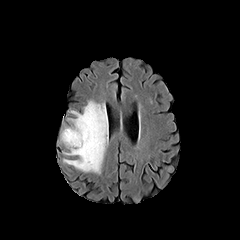
FLAIR MR image.
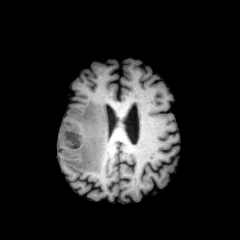
T1-weighted magnetic resonance of the same slice.
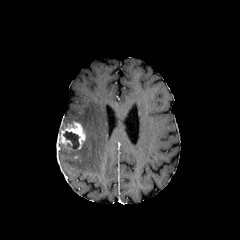
Post-contrast T1-weighted magnetic resonance of the same slice.
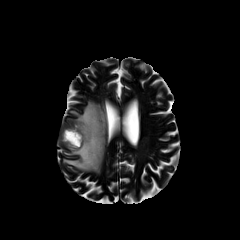
Same slice, T2-weighted MR image.
Brain
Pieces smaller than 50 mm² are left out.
peritumoral edema at (left=63, top=100, right=108, bottom=173)
enhancing tumor at (left=58, top=121, right=85, bottom=149)
necrotic tumor core at (left=63, top=131, right=79, bottom=149)